Head.
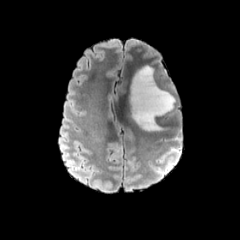
FLAIR MR.
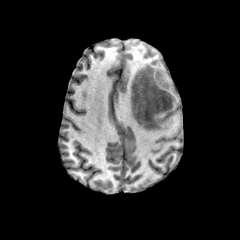
T1-weighted MR.
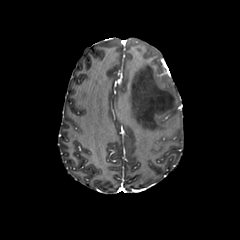
Post-contrast T1-weighted MRI.
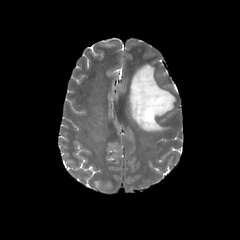
T2-weighted MR.
The peritumoral edema lies within 130, 65, 175, 131.